FLAIR MR.
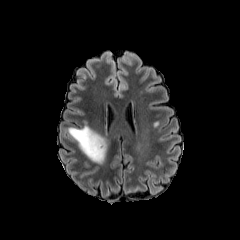
T1-weighted MR image.
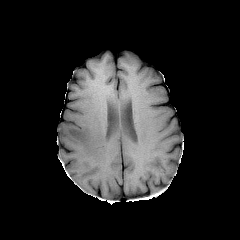
Post-contrast T1-weighted MRI.
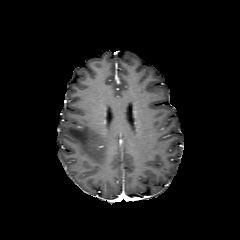
T2-weighted magnetic resonance.
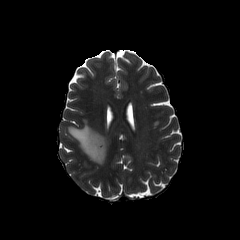
240x240
peritumoral_edema:
  - x1=66, y1=125, x2=107, y2=164